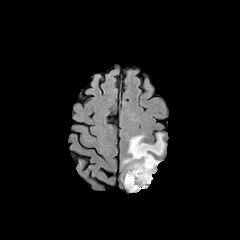
FLAIR MR.
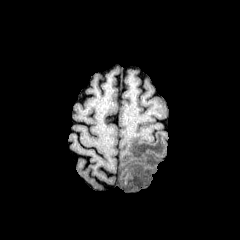
T1-weighted MRI.
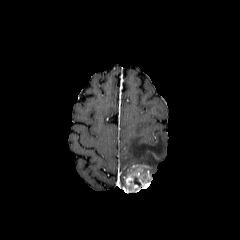
Same slice, post-contrast T1-weighted MRI.
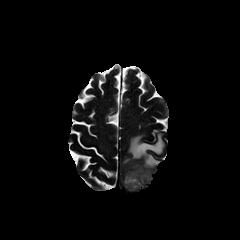
T2-weighted MR image.
Axial view.
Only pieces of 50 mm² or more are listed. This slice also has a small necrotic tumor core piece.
enhancing tumor — [124, 164, 152, 192]
peritumoral edema — [122, 133, 164, 173]